Slice index 97
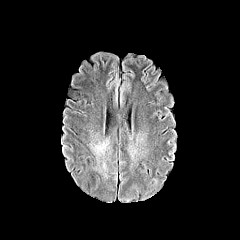
FLAIR MR image.
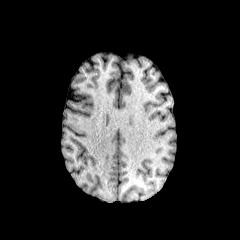
T1-weighted MR image.
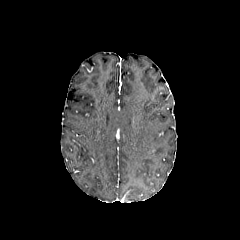
Post-contrast T1-weighted MRI.
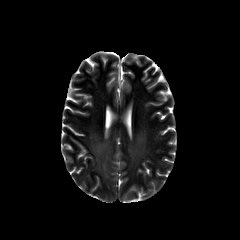
T2-weighted MR.
peritumoral edema: bbox=[88, 138, 109, 178]; bbox=[127, 131, 148, 174]